Axial plane | Slice index 75
FLAIR magnetic resonance.
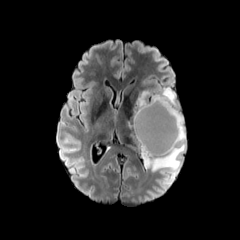
T1-weighted MRI.
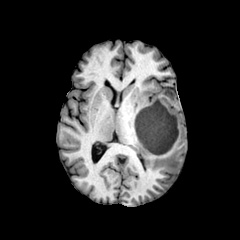
Post-contrast T1-weighted MR image.
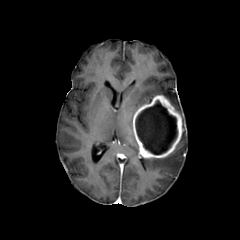
T2-weighted MR image.
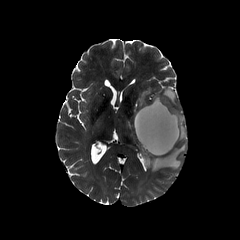
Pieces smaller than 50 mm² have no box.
enhancing_tumor:
  - bbox(133, 95, 183, 158)
necrotic_tumor_core:
  - bbox(135, 100, 177, 154)
peritumoral_edema:
  - bbox(133, 91, 150, 113)
  - bbox(143, 87, 186, 174)